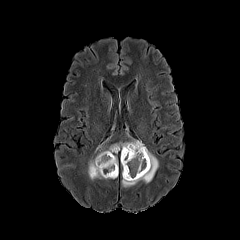
FLAIR magnetic resonance.
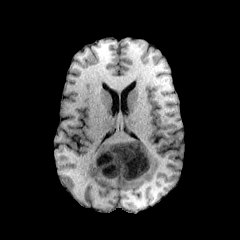
T1-weighted MR image of the same slice.
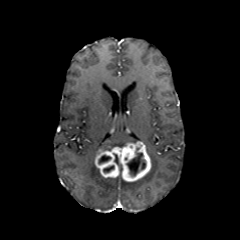
Same slice, post-contrast T1-weighted MR image.
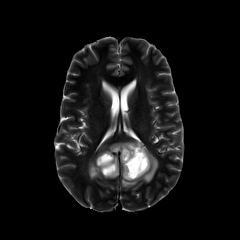
T2-weighted MRI.
240x240 px
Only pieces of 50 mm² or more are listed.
enhancing tumor = <bbox>95, 141, 151, 181</bbox>
peritumoral edema = <bbox>88, 158, 114, 179</bbox>, <bbox>107, 142, 128, 149</bbox>, <bbox>121, 147, 158, 187</bbox>
necrotic tumor core = <bbox>98, 155, 111, 163</bbox>, <bbox>103, 165, 114, 172</bbox>, <bbox>126, 152, 145, 176</bbox>